240x240 px. Slice 95 of 155.
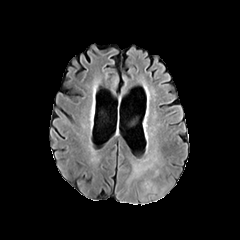
FLAIR MRI.
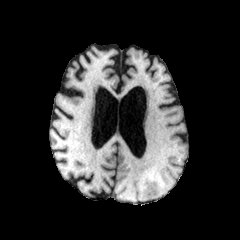
T1-weighted MR image of the same slice.
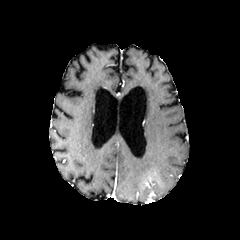
Same slice, post-contrast T1-weighted MR image.
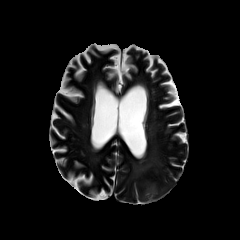
T2-weighted MR image.
The peritumoral edema is at [127,153,158,182].